Slice index 56 | Axial slice | Brain | Image covers 240 mm x 240 mm
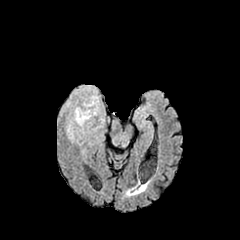
FLAIR MRI.
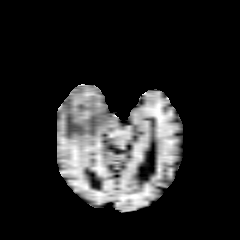
T1-weighted MR image.
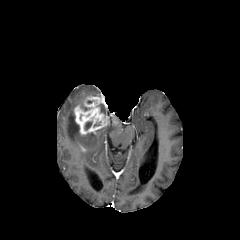
Same slice, post-contrast T1-weighted MRI.
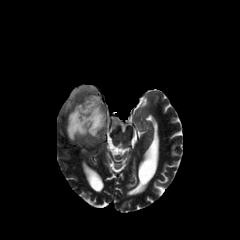
Same slice, T2-weighted MR.
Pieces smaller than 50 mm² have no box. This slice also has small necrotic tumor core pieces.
The 2 largest peritumoral edema regions are located at 67,112,85,141; 70,86,96,98. 2 enhancing tumor regions are bounded by 73,95,109,135; 112,116,118,125.